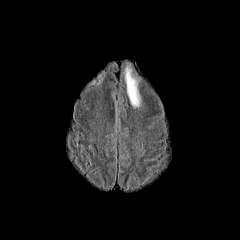
FLAIR MR image.
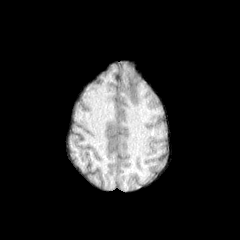
Same slice, T1-weighted magnetic resonance.
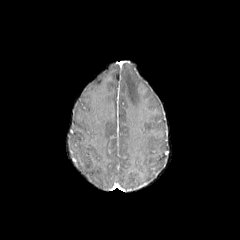
Post-contrast T1-weighted magnetic resonance of the same slice.
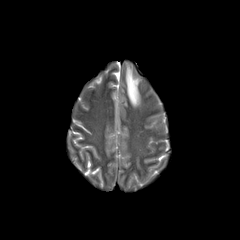
T2-weighted MRI of the same slice.
Image size 240x240. Brain. Axial slice.
- peritumoral edema: (x1=125, y1=64, x2=141, y2=108)